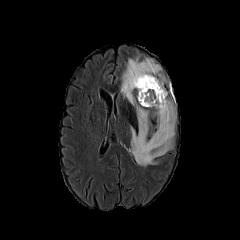
FLAIR MR.
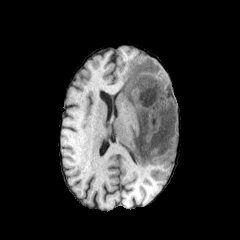
T1-weighted MRI.
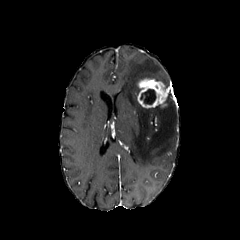
Post-contrast T1-weighted magnetic resonance.
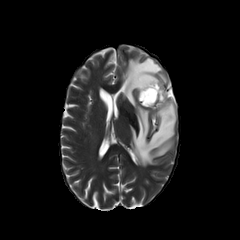
T2-weighted MR image of the same slice.
Image size 240x240.
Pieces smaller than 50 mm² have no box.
Annotated regions:
- peritumoral edema: l=120, t=56, r=176, b=166
- enhancing tumor: l=137, t=78, r=168, b=108
- necrotic tumor core: l=140, t=89, r=156, b=104